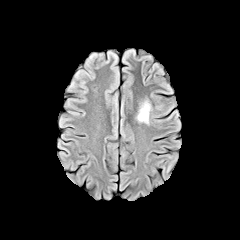
FLAIR MR.
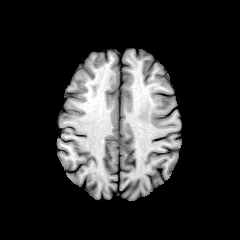
Same slice, T1-weighted MR image.
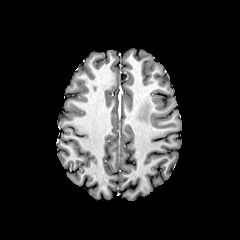
Post-contrast T1-weighted MR image.
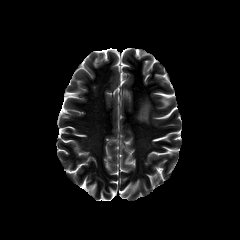
T2-weighted magnetic resonance of the same slice.
Image size 240x240
The peritumoral edema appears at (left=137, top=101, right=150, bottom=124).